FLAIR MR.
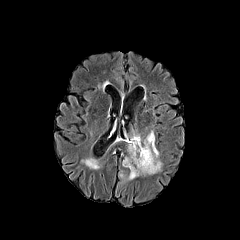
T1-weighted MRI.
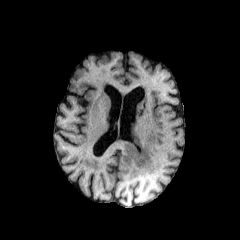
Post-contrast T1-weighted MR image.
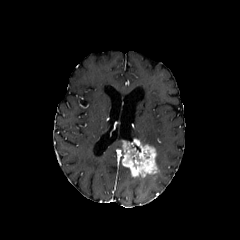
T2-weighted MR image.
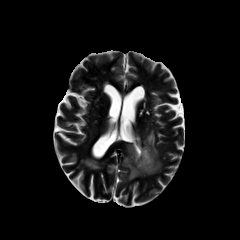
Image size 240x240, Head, Axial plane
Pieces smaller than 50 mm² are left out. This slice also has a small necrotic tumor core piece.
Segmented structures:
• peritumoral edema: <box>119,171,134,181</box>, <box>155,149,162,171</box>, <box>142,130,155,148</box>
• enhancing tumor: <box>122,138,158,177</box>